Head. Slice 75 of 155.
FLAIR MR.
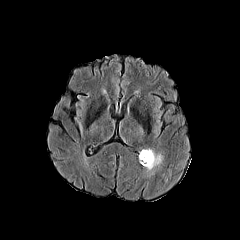
T1-weighted MRI.
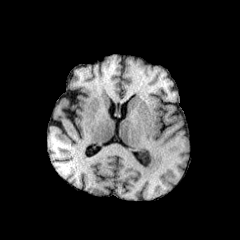
Post-contrast T1-weighted magnetic resonance.
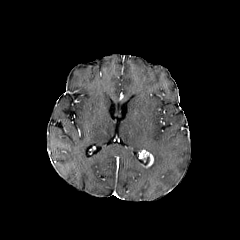
T2-weighted magnetic resonance.
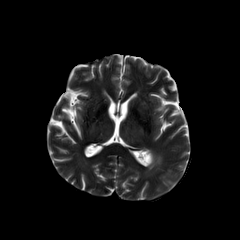
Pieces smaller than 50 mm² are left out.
The enhancing tumor appears at 139, 150, 153, 167. The necrotic tumor core is at 140, 156, 149, 165. The largest peritumoral edema region is located at 142, 148, 164, 171.